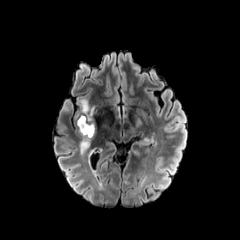
FLAIR magnetic resonance.
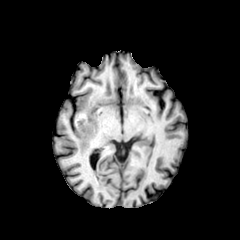
T1-weighted MR of the same slice.
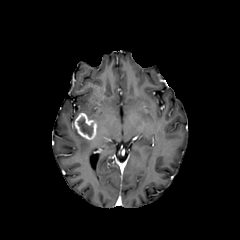
Same slice, post-contrast T1-weighted magnetic resonance.
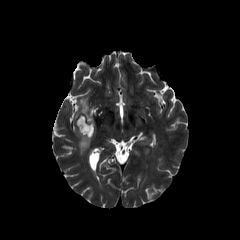
T2-weighted MR of the same slice.
Brain. Image size 240x240.
peritumoral edema at <bbox>80, 99, 94, 118</bbox>, <bbox>80, 137, 90, 153</bbox>
necrotic tumor core at <bbox>78, 117, 92, 136</bbox>
enhancing tumor at <bbox>74, 113, 97, 140</bbox>